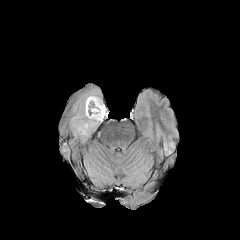
FLAIR MR.
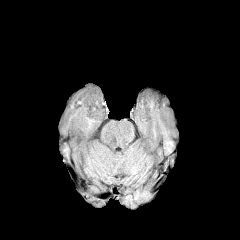
T1-weighted MR image.
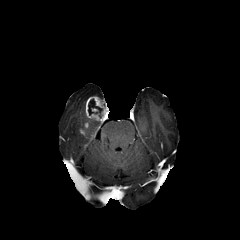
Same slice, post-contrast T1-weighted MR image.
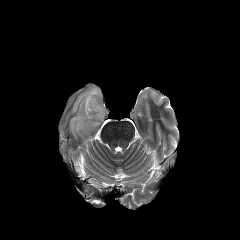
T2-weighted MR of the same slice.
Brain. Axial plane.
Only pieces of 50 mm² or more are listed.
necrotic tumor core at bbox=[88, 99, 102, 115]
peritumoral edema at bbox=[70, 89, 100, 137]
enhancing tumor at bbox=[85, 96, 108, 121]